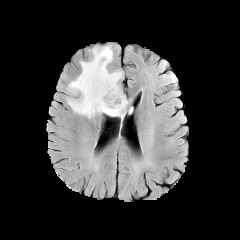
FLAIR magnetic resonance.
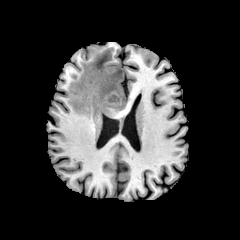
Same slice, T1-weighted magnetic resonance.
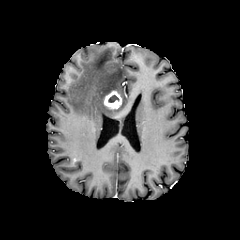
Same slice, post-contrast T1-weighted MR image.
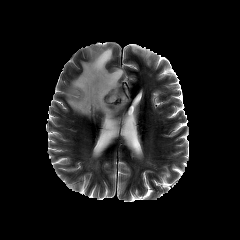
T2-weighted magnetic resonance of the same slice.
Head.
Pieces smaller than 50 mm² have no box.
{"peritumoral_edema": ["bbox=[66, 46, 127, 118]"], "enhancing_tumor": ["bbox=[104, 91, 121, 108]"], "necrotic_tumor_core": ["bbox=[108, 95, 118, 102]"]}